FLAIR MRI.
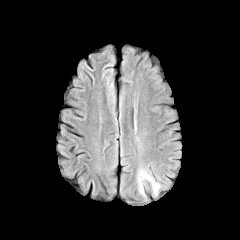
T1-weighted MR image.
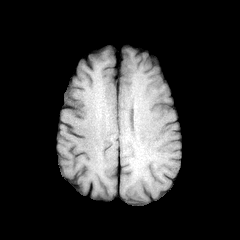
Post-contrast T1-weighted magnetic resonance.
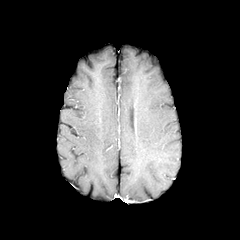
T2-weighted MRI.
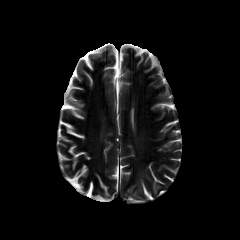
Axial slice
{"peritumoral_edema": ["left=138, top=169, right=160, bottom=195"]}